Axial view, Slice 45/155
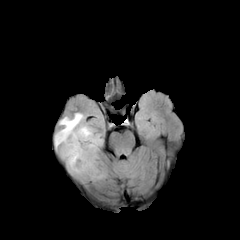
FLAIR magnetic resonance.
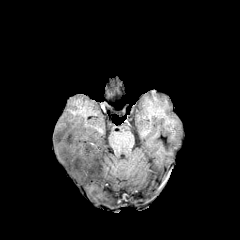
T1-weighted magnetic resonance of the same slice.
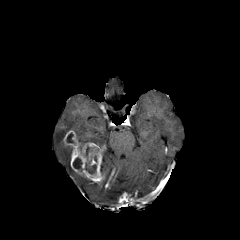
Same slice, post-contrast T1-weighted MRI.
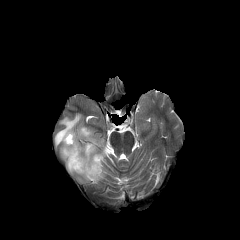
Same slice, T2-weighted MR image.
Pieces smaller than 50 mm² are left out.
peritumoral edema — 54,113,103,181
enhancing tumor — 62,130,104,181
necrotic tumor core — 66,133,73,142; 85,164,96,173; 73,158,81,169